Axial plane
FLAIR MR.
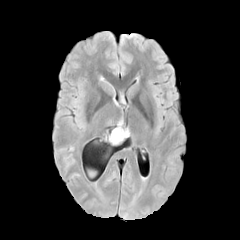
T1-weighted MR.
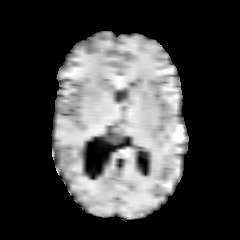
Post-contrast T1-weighted MR image.
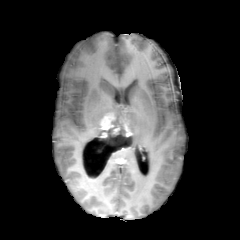
T2-weighted MR.
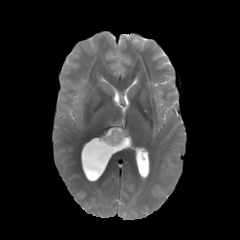
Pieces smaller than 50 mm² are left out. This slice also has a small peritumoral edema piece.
<segmentation>
  <necrotic_tumor_core>[107, 129, 125, 145]</necrotic_tumor_core>
  <enhancing_tumor>[102, 116, 131, 136]</enhancing_tumor>
</segmentation>